Brain, Image size 240x240, Axial view
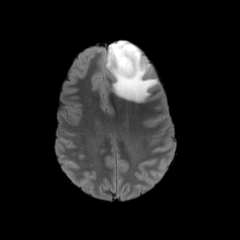
FLAIR MR image.
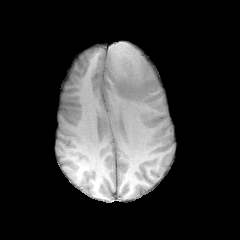
T1-weighted MR.
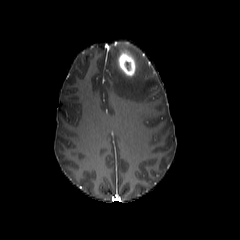
Post-contrast T1-weighted MR of the same slice.
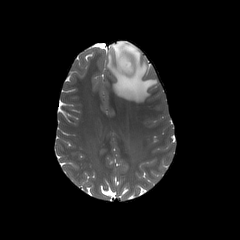
T2-weighted MR image of the same slice.
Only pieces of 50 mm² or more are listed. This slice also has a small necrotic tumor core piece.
peritumoral_edema:
  - [x1=106, y1=41, x2=157, y2=102]
enhancing_tumor:
  - [x1=117, y1=50, x2=136, y2=78]